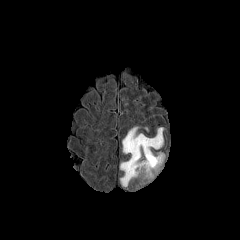
FLAIR MRI.
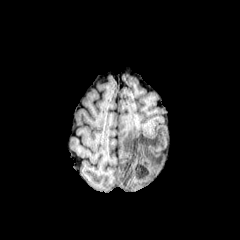
Same slice, T1-weighted MR image.
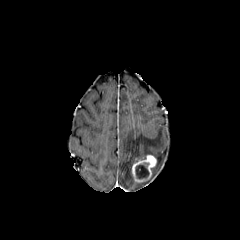
Same slice, post-contrast T1-weighted MR image.
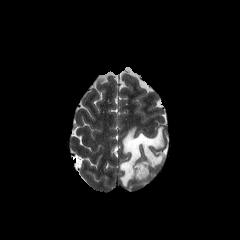
T2-weighted MRI.
Brain, Axial plane, 240x240 px
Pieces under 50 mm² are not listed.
The 2 largest peritumoral edema regions are located at bbox(119, 125, 165, 188); bbox(138, 151, 165, 184). The enhancing tumor is located at bbox(131, 155, 156, 182). The largest necrotic tumor core region is bounded by bbox(135, 165, 149, 179).